Slice 90 of 155, Head
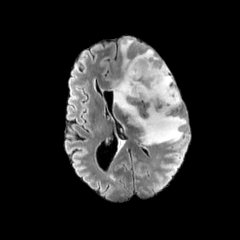
FLAIR MR.
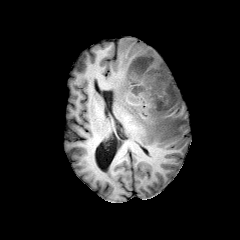
T1-weighted MRI.
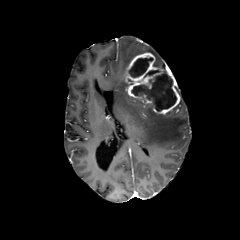
Post-contrast T1-weighted magnetic resonance of the same slice.
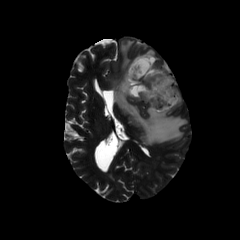
T2-weighted MR.
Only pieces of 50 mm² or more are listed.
<segmentation>
  <necrotic_tumor_core>(left=145, top=70, right=159, bottom=76), (left=131, top=71, right=176, bottom=111), (left=129, top=57, right=152, bottom=77)</necrotic_tumor_core>
  <peritumoral_edema>(left=142, top=48, right=164, bottom=66), (left=105, top=38, right=187, bottom=144)</peritumoral_edema>
  <enhancing_tumor>(left=125, top=52, right=180, bottom=114)</enhancing_tumor>
</segmentation>